FLAIR magnetic resonance.
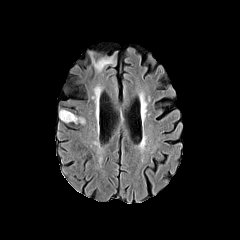
T1-weighted magnetic resonance.
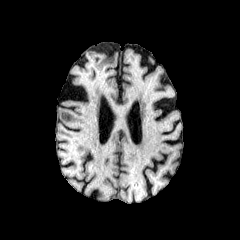
Post-contrast T1-weighted MR.
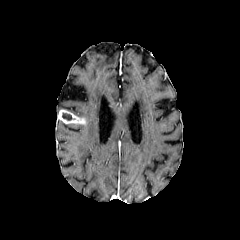
T2-weighted MR image.
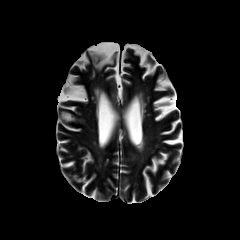
Brain.
The necrotic tumor core is located at 61, 112, 76, 120. The enhancing tumor is at 58, 109, 85, 124.